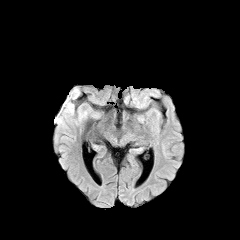
FLAIR MRI.
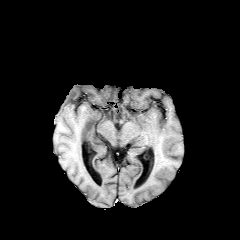
Same slice, T1-weighted MR.
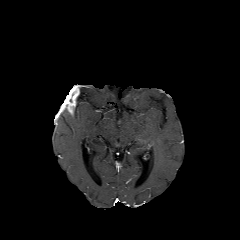
Same slice, post-contrast T1-weighted MR.
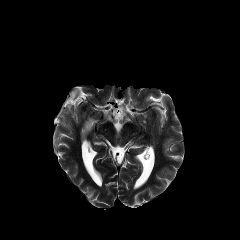
T2-weighted MR of the same slice.
240x240
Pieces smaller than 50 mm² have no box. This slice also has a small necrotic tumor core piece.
enhancing tumor at 54,86,79,122
peritumoral edema at 75,106,86,123; 56,109,73,127